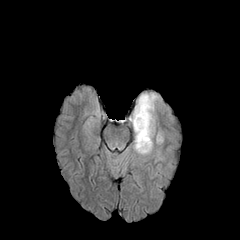
FLAIR MRI.
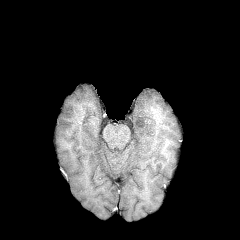
Same slice, T1-weighted MRI.
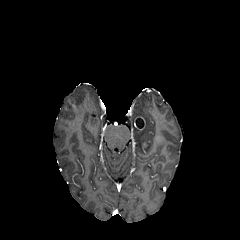
Post-contrast T1-weighted MRI.
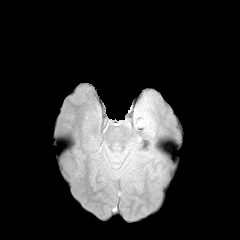
T2-weighted MR image.
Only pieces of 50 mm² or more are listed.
The necrotic tumor core lies within (136,117,144,128). The largest enhancing tumor region is located at (134,116,145,130). The peritumoral edema lies within (130,93,162,155).